Axial view.
FLAIR MR image.
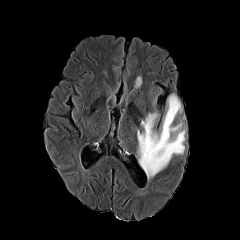
T1-weighted MR image.
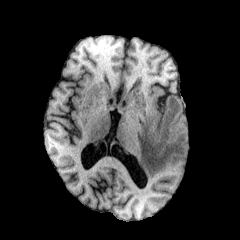
Post-contrast T1-weighted MR image.
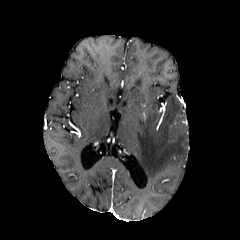
T2-weighted MR.
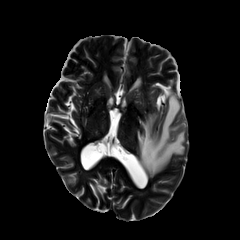
The peritumoral edema is located at [137,94,185,179].